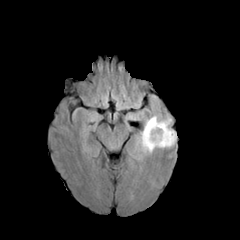
FLAIR MR image.
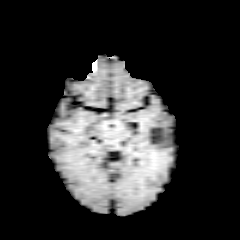
Same slice, T1-weighted MR image.
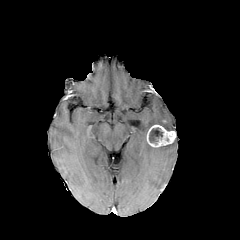
Post-contrast T1-weighted magnetic resonance.
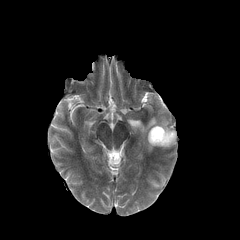
T2-weighted magnetic resonance.
Axial slice | Head
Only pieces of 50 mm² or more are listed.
<segmentation>
  <necrotic_tumor_core>(x1=149, y1=128, x2=163, y2=143)</necrotic_tumor_core>
  <enhancing_tumor>(x1=146, y1=125, x2=176, y2=147)</enhancing_tumor>
  <peritumoral_edema>(x1=138, y1=116, x2=171, y2=152)</peritumoral_edema>
</segmentation>